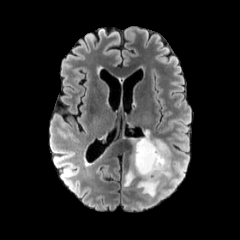
FLAIR MRI.
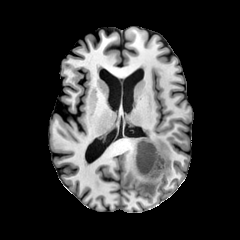
T1-weighted MR.
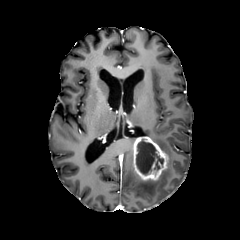
Post-contrast T1-weighted MRI of the same slice.
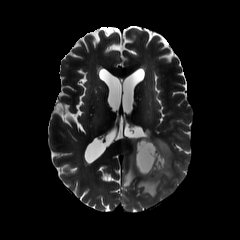
Same slice, T2-weighted MR image.
240x240 px
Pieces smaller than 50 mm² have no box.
{
  "peritumoral_edema": [
    "x1=124 y1=153 x2=137 y2=186",
    "x1=136 y1=138 x2=170 y2=197"
  ],
  "enhancing_tumor": [
    "x1=133 y1=136 x2=168 y2=181"
  ],
  "necrotic_tumor_core": [
    "x1=136 y1=139 x2=163 y2=174"
  ]
}